FLAIR MR image.
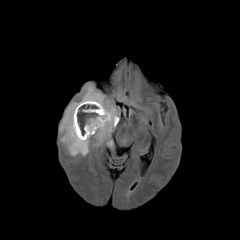
T1-weighted magnetic resonance.
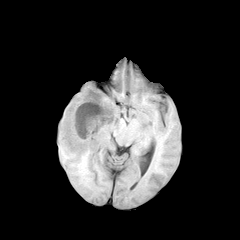
Post-contrast T1-weighted MR.
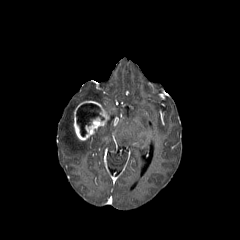
T2-weighted MRI.
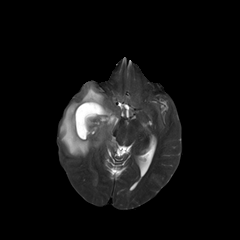
Image size 240x240
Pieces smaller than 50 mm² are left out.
necrotic_tumor_core:
  - (76, 103, 104, 136)
peritumoral_edema:
  - (59, 83, 118, 156)
enhancing_tumor:
  - (73, 100, 110, 140)